Image covers 240 mm x 240 mm. Axial plane. Head.
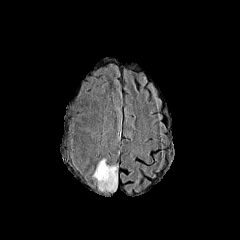
FLAIR MR image.
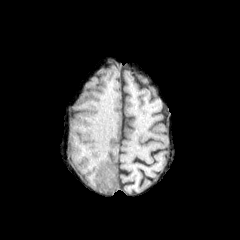
Same slice, T1-weighted MR image.
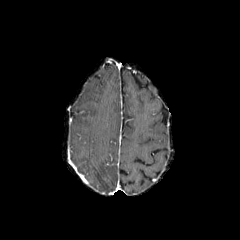
Post-contrast T1-weighted MR of the same slice.
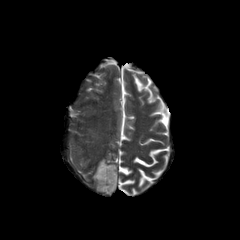
T2-weighted MR.
{"peritumoral_edema": ["rect(93, 158, 118, 195)"]}